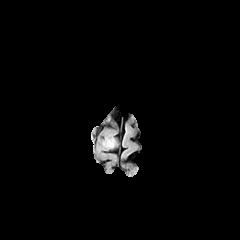
FLAIR MR image.
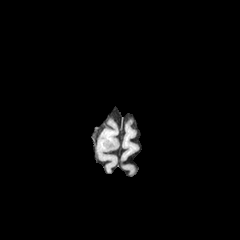
Same slice, T1-weighted magnetic resonance.
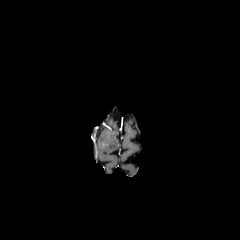
Same slice, post-contrast T1-weighted MR.
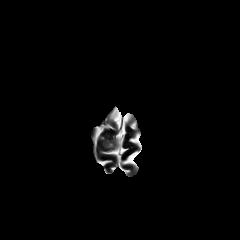
T2-weighted MR.
Head
The peritumoral edema is at (left=102, top=137, right=116, bottom=149).